Slice index 115. Brain. Axial plane.
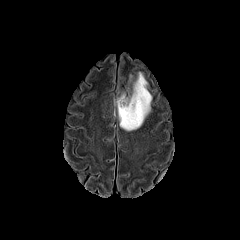
FLAIR MR image.
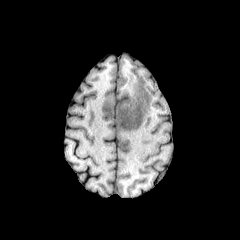
T1-weighted MR image.
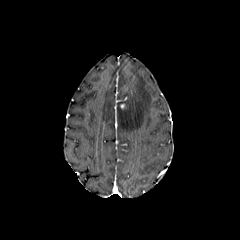
Post-contrast T1-weighted MR image of the same slice.
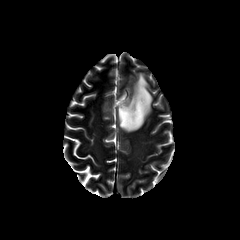
T2-weighted MR of the same slice.
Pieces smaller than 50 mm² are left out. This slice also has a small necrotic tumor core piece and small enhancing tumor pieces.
The largest peritumoral edema region is located at 118, 72, 152, 131.